FLAIR MR image.
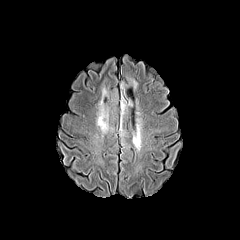
T1-weighted magnetic resonance.
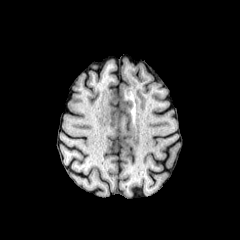
Post-contrast T1-weighted magnetic resonance.
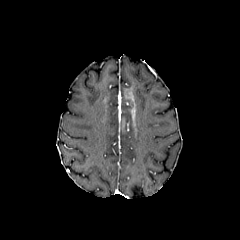
T2-weighted MR image.
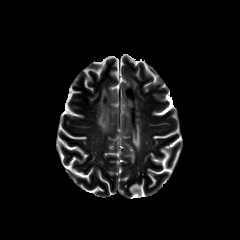
Head. Image size 240x240. Axial view.
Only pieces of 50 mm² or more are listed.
<segmentation>
  <peritumoral_edema>rect(96, 79, 117, 136); rect(120, 66, 137, 133); rect(132, 118, 142, 151)</peritumoral_edema>
</segmentation>